FLAIR MRI.
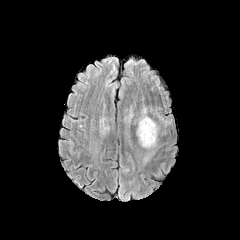
T1-weighted MR image.
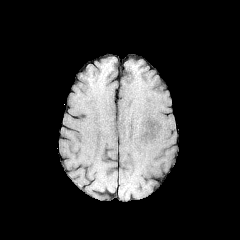
Post-contrast T1-weighted MR image.
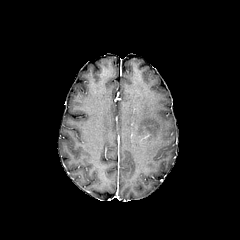
T2-weighted MRI.
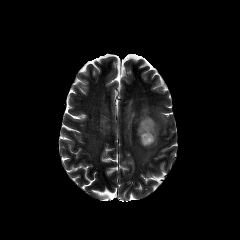
Image size 240x240. Brain.
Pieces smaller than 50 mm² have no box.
enhancing tumor at <box>141,132,151,142</box>
peritumoral edema at <box>137,108,159,148</box>